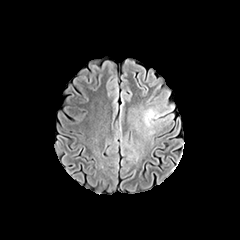
FLAIR MRI.
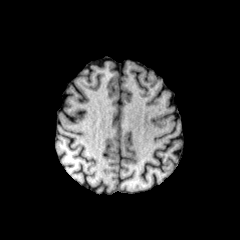
T1-weighted magnetic resonance.
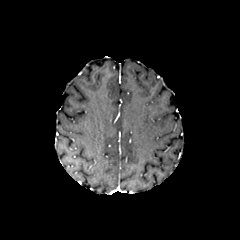
Same slice, post-contrast T1-weighted magnetic resonance.
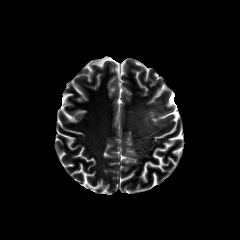
T2-weighted MRI of the same slice.
Axial view
Segmented structures:
- peritumoral edema: box=[143, 108, 161, 126]